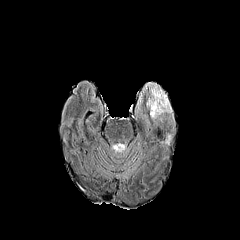
FLAIR magnetic resonance.
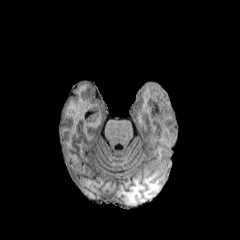
T1-weighted MR image.
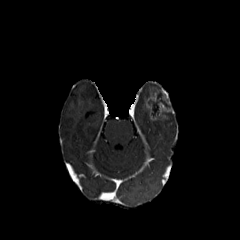
Post-contrast T1-weighted MRI.
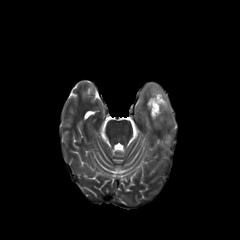
T2-weighted MRI.
Axial slice, Head, Image size 240x240
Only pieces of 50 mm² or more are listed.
The largest enhancing tumor region is at 146 88 173 120. The 2 largest peritumoral edema regions are located at 165 134 171 144, 144 83 160 94. The necrotic tumor core is bounded by 148 91 169 116.